FLAIR MR.
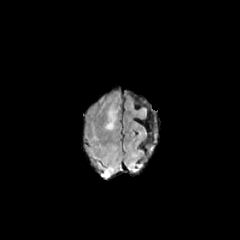
T1-weighted MR.
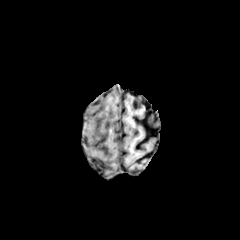
Post-contrast T1-weighted MR image.
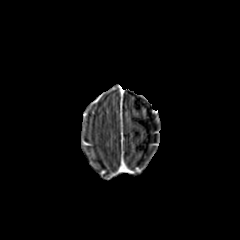
T2-weighted MR image.
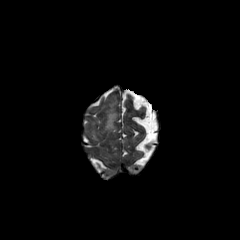
Head; Axial plane
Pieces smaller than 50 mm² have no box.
peritumoral edema — l=105, t=106, r=116, b=129